Image width 240 mm, 1.00 mm slice spacing | Head
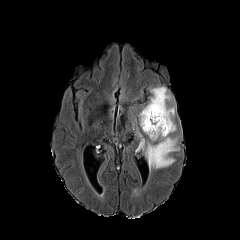
FLAIR magnetic resonance.
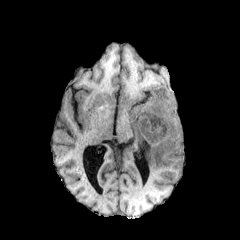
T1-weighted magnetic resonance of the same slice.
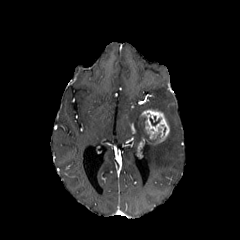
Post-contrast T1-weighted MRI.
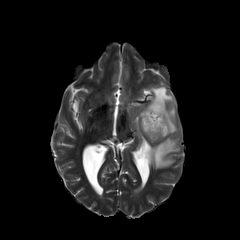
Same slice, T2-weighted magnetic resonance.
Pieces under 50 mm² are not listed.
peritumoral edema: bounding box x1=135 y1=86 x2=179 y2=169
necrotic tumor core: bounding box x1=150 y1=116 x2=160 y2=125
enhancing tumor: bounding box x1=141 y1=109 x2=169 y2=143